FLAIR MR image.
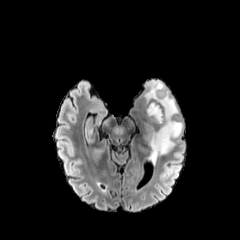
T1-weighted MR image.
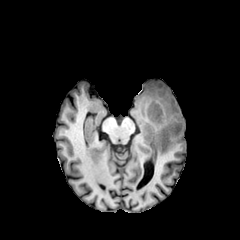
Post-contrast T1-weighted MR.
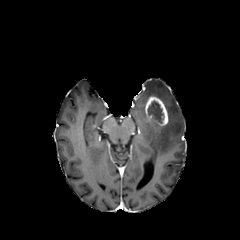
T2-weighted MRI.
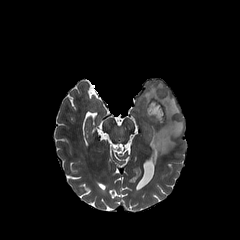
Head
peritumoral edema: 142,80,183,165
enhancing tumor: 145,95,168,125
necrotic tumor core: 147,101,163,123